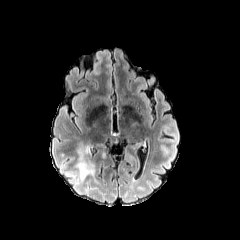
FLAIR MRI.
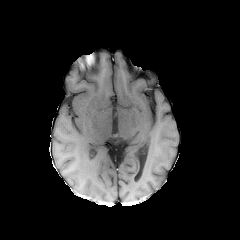
Same slice, T1-weighted MRI.
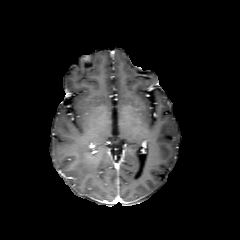
Post-contrast T1-weighted MR image.
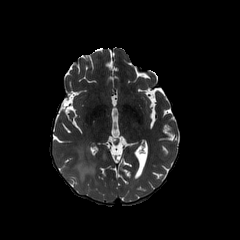
T2-weighted MR.
Axial plane
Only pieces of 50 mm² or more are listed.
<segmentation>
  <peritumoral_edema>[76, 141, 98, 181]</peritumoral_edema>
</segmentation>